Brain; Image size 240x240
FLAIR magnetic resonance.
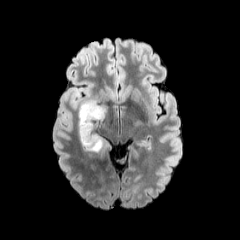
T1-weighted MR.
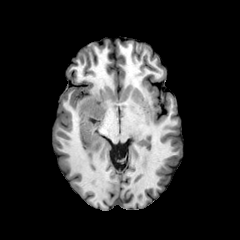
Post-contrast T1-weighted MRI.
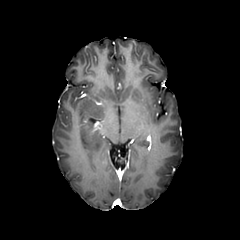
T2-weighted MR.
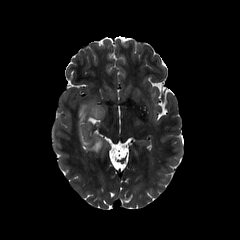
The peritumoral edema is located at bbox(78, 100, 106, 153).